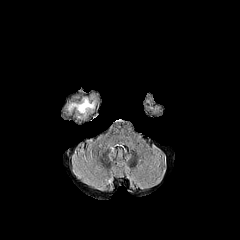
FLAIR magnetic resonance.
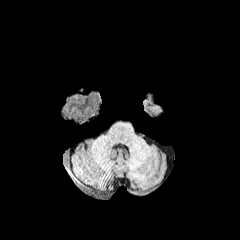
T1-weighted MRI.
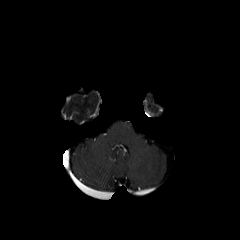
Post-contrast T1-weighted MR.
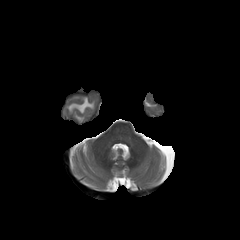
T2-weighted MRI.
Axial plane
Annotated regions:
• peritumoral edema: {"x1": 69, "y1": 99, "x2": 94, "y2": 112}